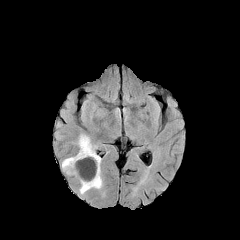
FLAIR MR.
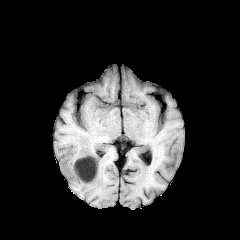
T1-weighted MR image of the same slice.
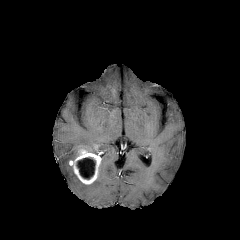
Same slice, post-contrast T1-weighted MRI.
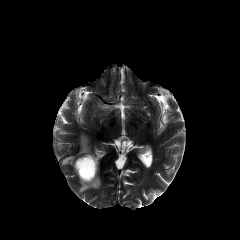
T2-weighted MRI.
Brain
The necrotic tumor core lies within (left=76, top=157, right=95, bottom=179). 3 peritumoral edema regions appear at (left=78, top=134, right=95, bottom=153), (left=79, top=168, right=102, bottom=194), (left=61, top=153, right=78, bottom=174). The enhancing tumor is at (left=69, top=148, right=101, bottom=184).